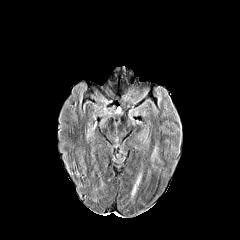
FLAIR MR image.
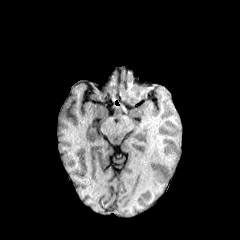
Same slice, T1-weighted MR image.
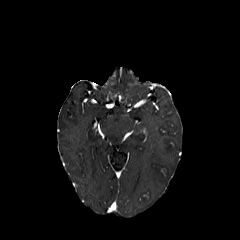
Same slice, post-contrast T1-weighted MR image.
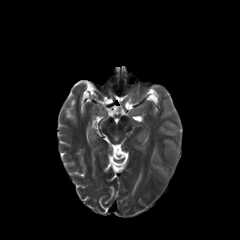
T2-weighted MR image.
Axial slice, 240x240 px
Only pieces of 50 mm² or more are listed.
peritumoral edema: 132:175:140:193